FLAIR MRI.
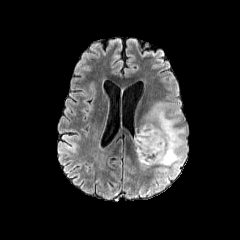
T1-weighted MR.
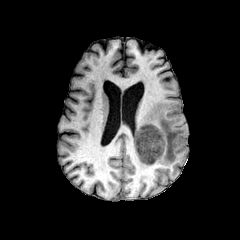
Post-contrast T1-weighted MR.
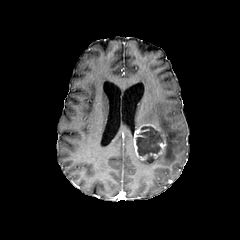
T2-weighted MRI.
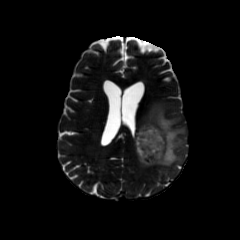
Axial view
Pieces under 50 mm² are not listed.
Annotated regions:
* enhancing tumor: l=133, t=123, r=166, b=164
* necrotic tumor core: l=136, t=126, r=162, b=162
* peritumoral edema: l=138, t=102, r=187, b=171